Slice 116/155
FLAIR MRI.
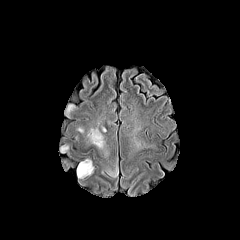
T1-weighted MR image.
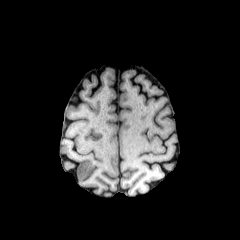
Post-contrast T1-weighted MRI.
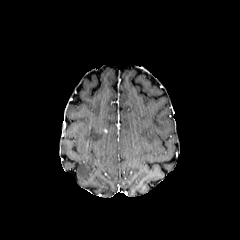
T2-weighted MRI.
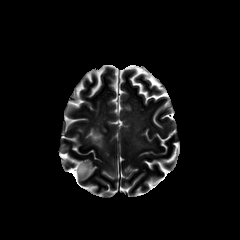
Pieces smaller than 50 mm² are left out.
<segmentation>
  <peritumoral_edema>(89, 129, 103, 147), (77, 159, 93, 177)</peritumoral_edema>
</segmentation>